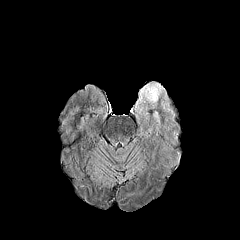
FLAIR MRI.
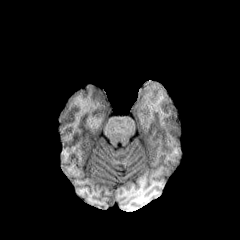
Same slice, T1-weighted MRI.
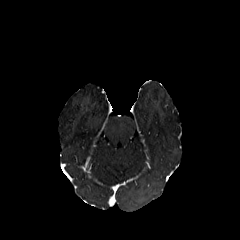
Same slice, post-contrast T1-weighted MR image.
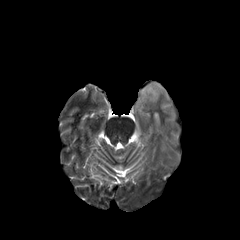
Same slice, T2-weighted MRI.
Brain
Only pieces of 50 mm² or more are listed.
{"peritumoral_edema": ["135, 82, 166, 120", "153, 111, 159, 125"]}